240x240 px; Brain; Slice 42/155
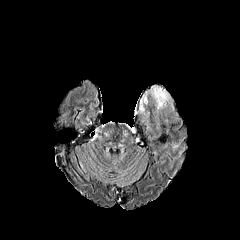
FLAIR MR image.
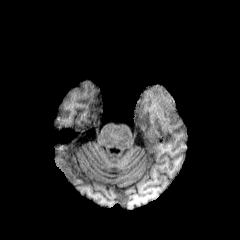
Same slice, T1-weighted MRI.
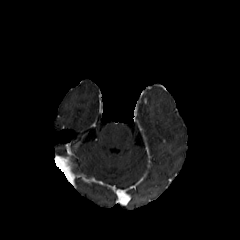
Post-contrast T1-weighted MR.
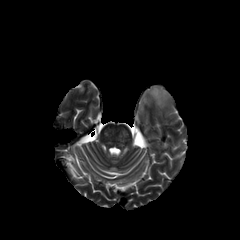
T2-weighted MR image.
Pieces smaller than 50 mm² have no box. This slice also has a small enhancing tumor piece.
<segmentation>
  <peritumoral_edema><bbox>150, 87, 169, 108</bbox></peritumoral_edema>
</segmentation>